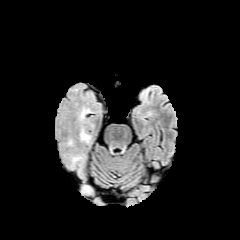
FLAIR magnetic resonance.
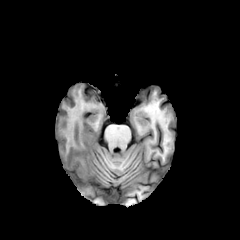
Same slice, T1-weighted MR.
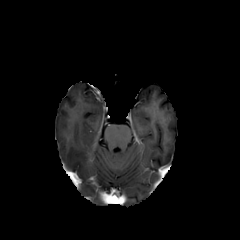
Post-contrast T1-weighted MR.
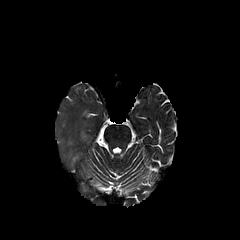
T2-weighted MR image.
Axial slice. Brain.
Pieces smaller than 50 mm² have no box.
peritumoral edema: left=80, top=129, right=90, bottom=141